FLAIR MR.
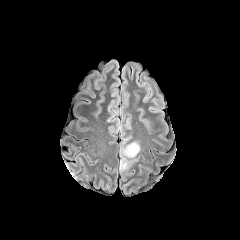
T1-weighted MR image.
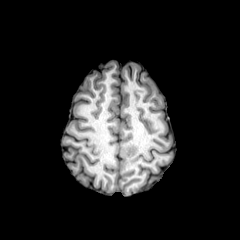
Post-contrast T1-weighted magnetic resonance.
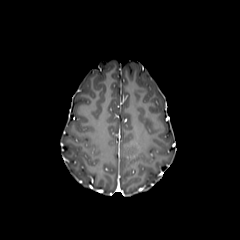
T2-weighted MR.
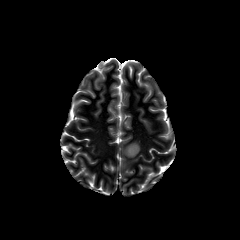
Brain; Axial view
peritumoral edema at <bbox>120, 137, 140, 171</bbox>